Image width 240 mm, 1.00 mm slice spacing, 240x240
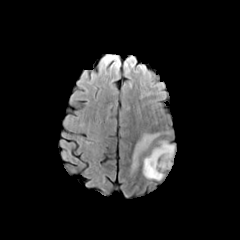
FLAIR magnetic resonance.
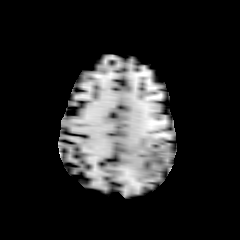
T1-weighted magnetic resonance of the same slice.
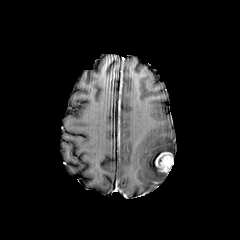
Post-contrast T1-weighted MR.
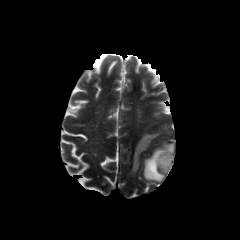
Same slice, T2-weighted magnetic resonance.
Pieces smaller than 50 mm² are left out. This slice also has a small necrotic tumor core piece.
The enhancing tumor is bounded by (155,152,173,171). 2 peritumoral edema regions are located at (143,142,173,181), (132,134,157,171).